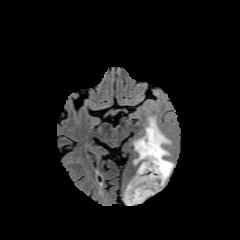
FLAIR magnetic resonance.
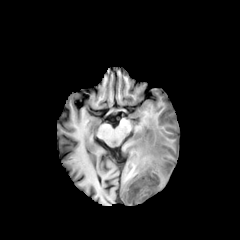
Same slice, T1-weighted MR image.
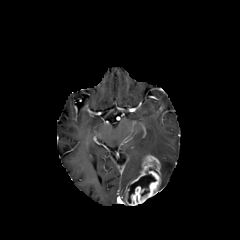
Post-contrast T1-weighted MRI of the same slice.
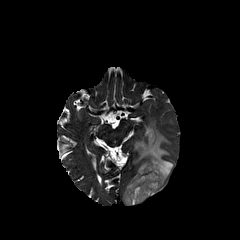
T2-weighted MR image.
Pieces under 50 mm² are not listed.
enhancing tumor: (x1=124, y1=154, x2=161, y2=205)
necrotic tumor core: (x1=128, y1=174, x2=155, y2=202)
peritumoral edema: (x1=133, y1=117, x2=173, y2=190)